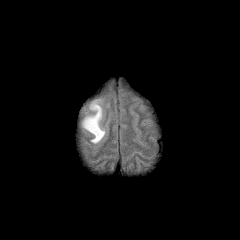
FLAIR magnetic resonance.
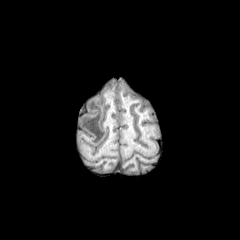
Same slice, T1-weighted magnetic resonance.
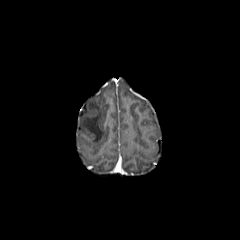
Same slice, post-contrast T1-weighted magnetic resonance.
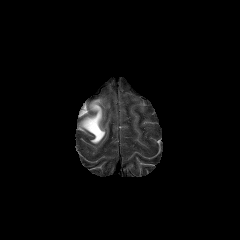
T2-weighted magnetic resonance.
Axial slice. Brain.
<segmentation>
  <peritumoral_edema><box>81,99,105,143</box></peritumoral_edema>
</segmentation>